Brain; Axial plane; 240x240
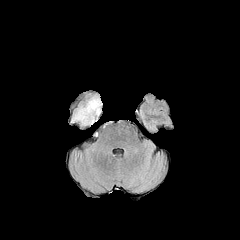
FLAIR MRI.
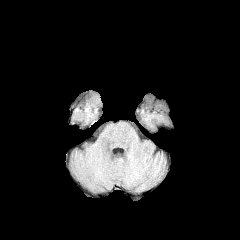
T1-weighted MR.
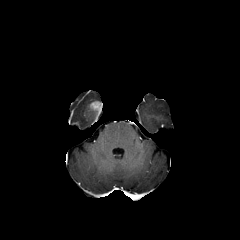
Post-contrast T1-weighted MRI of the same slice.
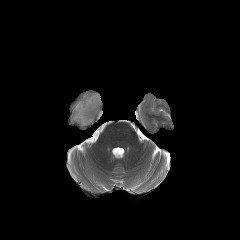
T2-weighted MR of the same slice.
<segmentation>
  <enhancing_tumor>left=89, top=100, right=102, bottom=117</enhancing_tumor>
  <peritumoral_edema>left=72, top=95, right=100, bottom=125</peritumoral_edema>
</segmentation>